240x240; Head; Axial view
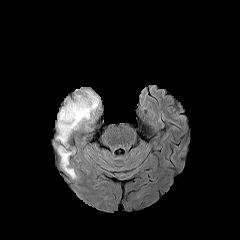
FLAIR MRI.
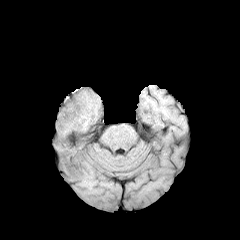
T1-weighted MR.
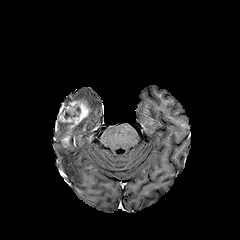
Same slice, post-contrast T1-weighted MR image.
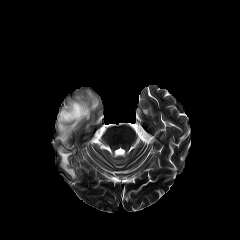
T2-weighted MR image.
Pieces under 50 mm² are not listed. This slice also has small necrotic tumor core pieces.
enhancing tumor: bounding box {"x1": 57, "y1": 100, "x2": 89, "y2": 147}
peritumoral edema: bounding box {"x1": 58, "y1": 146, "x2": 76, "y2": 178}, {"x1": 73, "y1": 90, "x2": 99, "y2": 130}, {"x1": 57, "y1": 122, "x2": 72, "y2": 140}